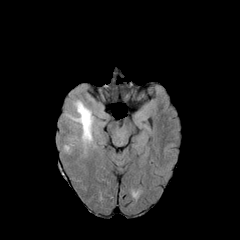
FLAIR MR image.
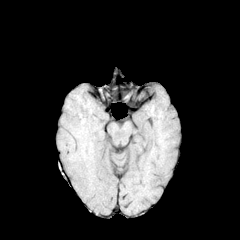
Same slice, T1-weighted MR.
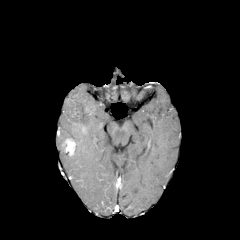
Post-contrast T1-weighted MR of the same slice.
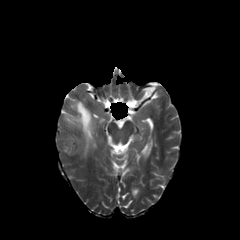
T2-weighted MR.
Axial view | 240x240 px | Head
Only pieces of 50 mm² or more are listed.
{
  "enhancing_tumor": [
    "65 139 75 154"
  ],
  "peritumoral_edema": [
    "66 100 94 153"
  ]
}